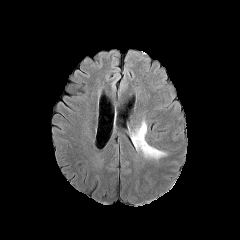
FLAIR MRI.
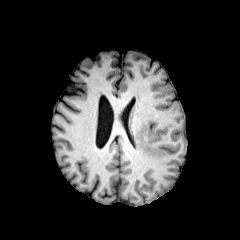
Same slice, T1-weighted MRI.
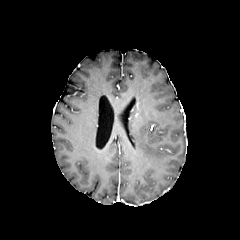
Post-contrast T1-weighted MR image.
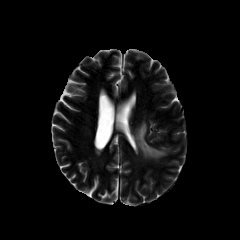
T2-weighted MR image of the same slice.
Findings:
- peritumoral edema: {"x1": 132, "y1": 121, "x2": 166, "y2": 159}